Slice 88 of 155
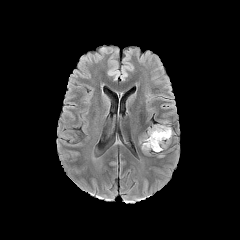
FLAIR MR image.
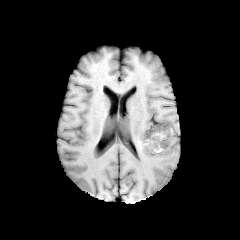
Same slice, T1-weighted magnetic resonance.
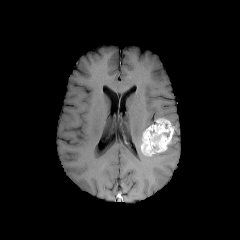
Post-contrast T1-weighted MR.
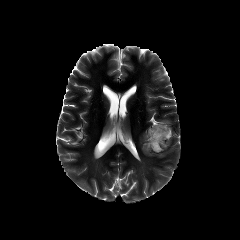
T2-weighted MRI.
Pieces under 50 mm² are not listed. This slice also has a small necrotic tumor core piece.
enhancing tumor: box(141, 118, 173, 155)